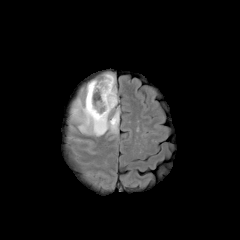
FLAIR magnetic resonance.
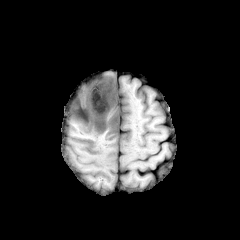
T1-weighted MR of the same slice.
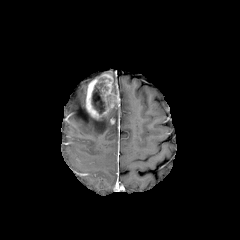
Post-contrast T1-weighted MR image.
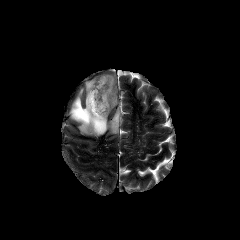
T2-weighted MR.
240x240 px, Axial plane
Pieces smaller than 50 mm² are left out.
The largest enhancing tumor region lies within <bbox>86, 74, 119, 119</bbox>. The peritumoral edema is located at <bbox>66, 71, 119, 136</bbox>. The necrotic tumor core is bounded by <bbox>92, 93, 105, 114</bbox>.